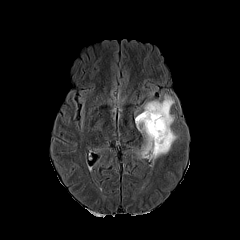
FLAIR MR.
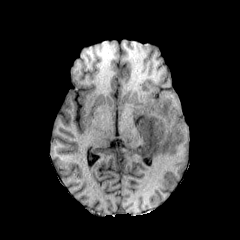
T1-weighted magnetic resonance.
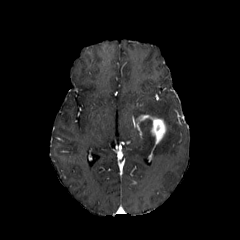
Post-contrast T1-weighted MRI.
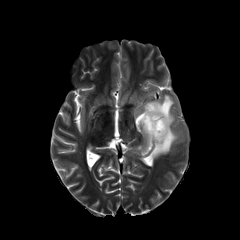
T2-weighted magnetic resonance.
Head. Axial plane.
The peritumoral edema is at x1=134 y1=89 x2=187 y2=159. The enhancing tumor appears at x1=136 y1=114 x2=166 y2=147.